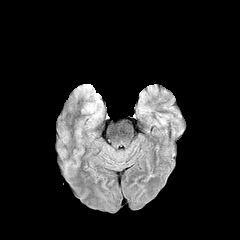
FLAIR MR.
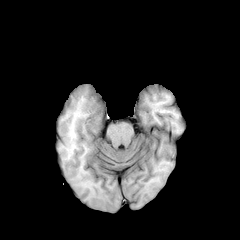
T1-weighted MR image of the same slice.
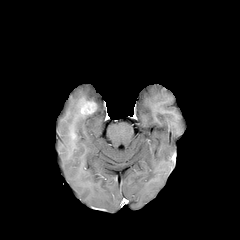
Post-contrast T1-weighted MR image of the same slice.
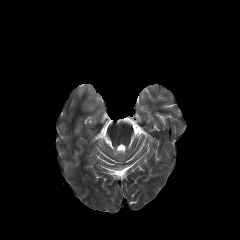
T2-weighted MRI of the same slice.
Axial slice | Image size 240x240 | Brain
enhancing tumor = (81,102,96,115)